Image size 240x240, Image width 240 mm, Axial plane, Slice index 87
FLAIR magnetic resonance.
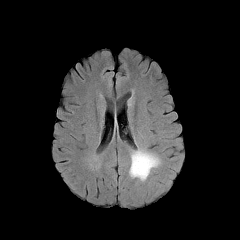
T1-weighted magnetic resonance.
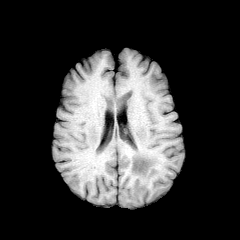
Post-contrast T1-weighted MRI.
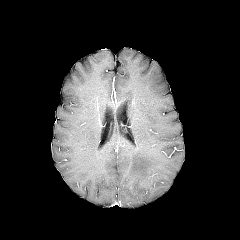
T2-weighted MR.
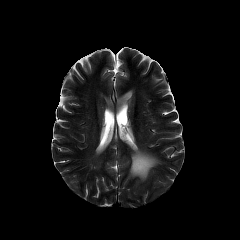
peritumoral edema: left=129, top=149, right=160, bottom=181